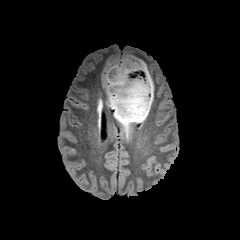
FLAIR MRI.
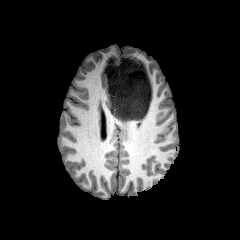
T1-weighted magnetic resonance of the same slice.
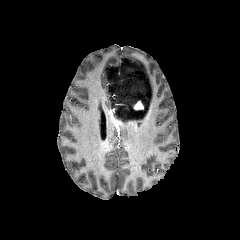
Post-contrast T1-weighted MR of the same slice.
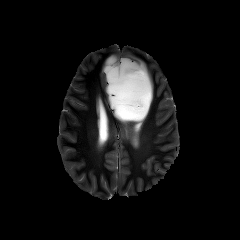
Same slice, T2-weighted MR image.
Head
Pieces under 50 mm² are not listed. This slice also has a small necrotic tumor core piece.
enhancing tumor: {"x1": 133, "y1": 100, "x2": 143, "y2": 110} | peritumoral edema: {"x1": 104, "y1": 56, "x2": 153, "y2": 139}